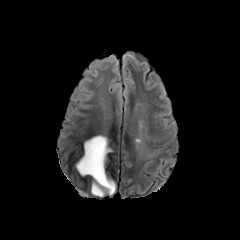
FLAIR MR image.
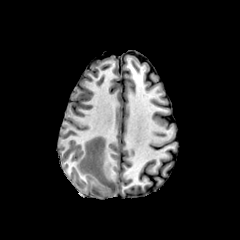
T1-weighted MR image of the same slice.
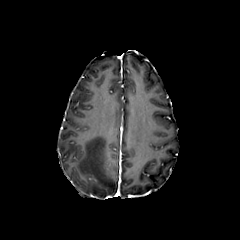
Post-contrast T1-weighted MR.
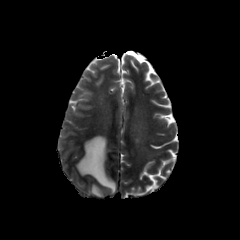
T2-weighted MR image of the same slice.
Brain
The peritumoral edema appears at 76, 135, 115, 197.